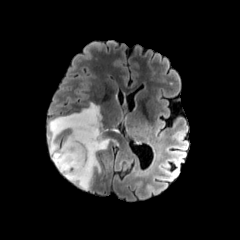
FLAIR magnetic resonance.
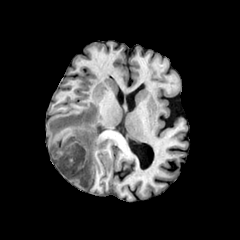
Same slice, T1-weighted magnetic resonance.
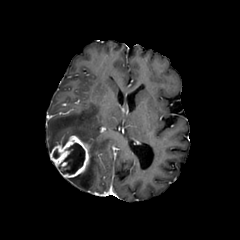
Post-contrast T1-weighted MR of the same slice.
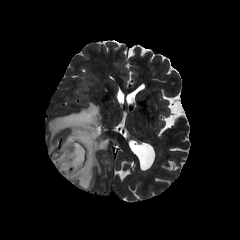
Same slice, T2-weighted MR.
Axial plane | Image size 240x240
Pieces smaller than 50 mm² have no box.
peritumoral_edema:
  - l=49, t=103, r=109, b=189
necrotic_tumor_core:
  - l=61, t=143, r=84, b=174
enhancing_tumor:
  - l=50, t=135, r=90, b=178